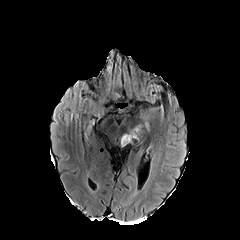
FLAIR magnetic resonance.
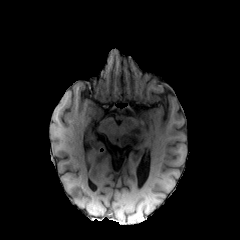
Same slice, T1-weighted magnetic resonance.
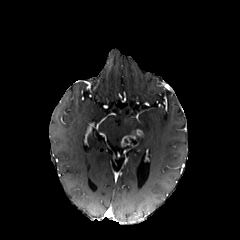
Post-contrast T1-weighted MRI of the same slice.
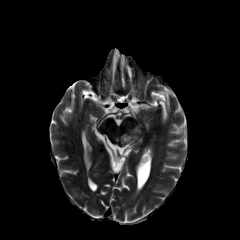
T2-weighted MRI.
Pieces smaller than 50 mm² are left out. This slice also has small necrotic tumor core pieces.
The largest enhancing tumor region appears at <bbox>120, 135, 135, 146</bbox>. The largest peritumoral edema region is located at <bbox>120, 124, 141, 141</bbox>.